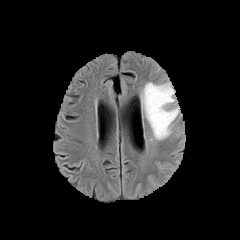
FLAIR MRI.
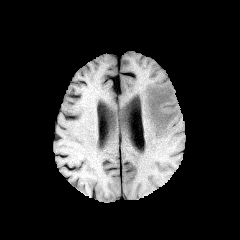
T1-weighted MRI.
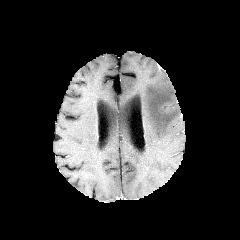
Same slice, post-contrast T1-weighted magnetic resonance.
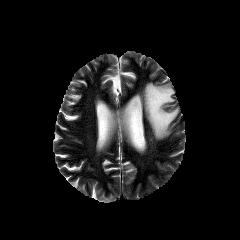
T2-weighted MRI.
Brain
The peritumoral edema is bounded by <box>141,82,179,139</box>.